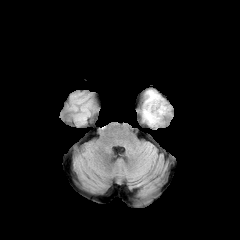
FLAIR MR image.
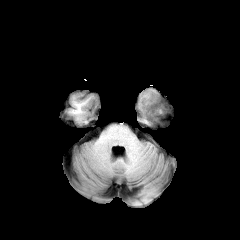
Same slice, T1-weighted magnetic resonance.
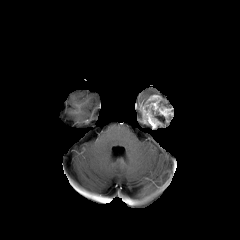
Post-contrast T1-weighted MR image.
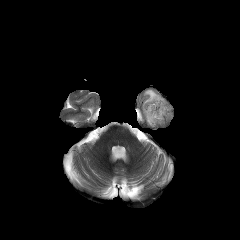
T2-weighted MR.
Axial plane, Head
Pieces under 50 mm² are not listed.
<segmentation>
  <peritumoral_edema>[145,90,156,98]</peritumoral_edema>
  <necrotic_tumor_core>[155,114,164,122]</necrotic_tumor_core>
  <enhancing_tumor>[141,94,173,128]</enhancing_tumor>
</segmentation>